Slice 122/155
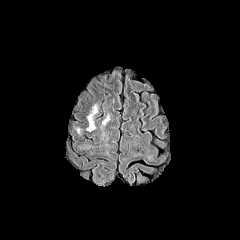
FLAIR MR image.
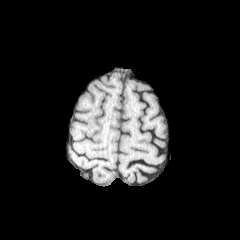
T1-weighted MRI.
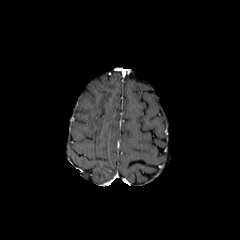
Post-contrast T1-weighted magnetic resonance.
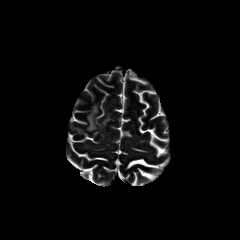
T2-weighted MRI of the same slice.
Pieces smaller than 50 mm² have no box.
peritumoral edema — l=87, t=105, r=97, b=131